FLAIR MRI.
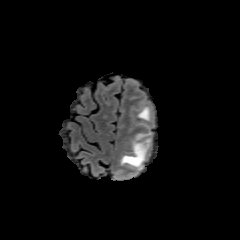
T1-weighted MR image.
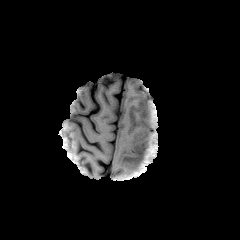
Post-contrast T1-weighted MR image.
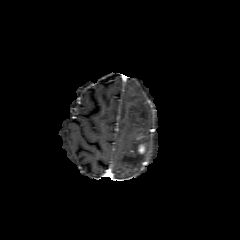
T2-weighted MR image.
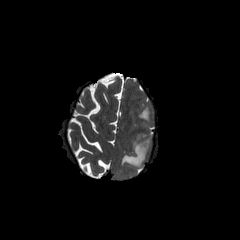
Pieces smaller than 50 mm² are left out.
enhancing tumor — {"x1": 137, "y1": 143, "x2": 146, "y2": 154}
peritumoral edema — {"x1": 120, "y1": 106, "x2": 151, "y2": 168}